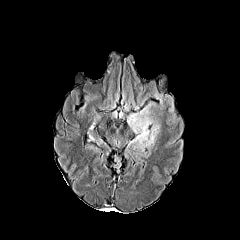
FLAIR magnetic resonance.
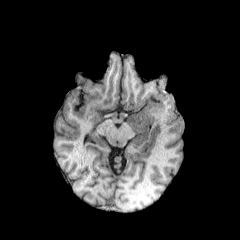
Same slice, T1-weighted MRI.
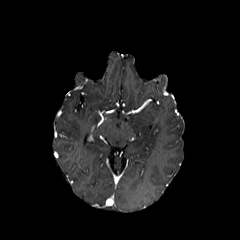
Post-contrast T1-weighted MR.
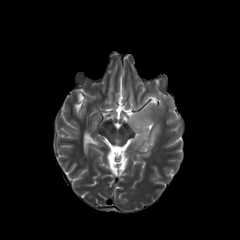
Same slice, T2-weighted MR image.
Axial plane
Findings:
* peritumoral edema: [128, 104, 159, 149]